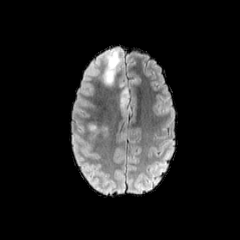
FLAIR magnetic resonance.
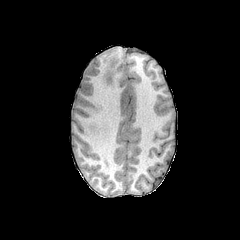
T1-weighted MRI of the same slice.
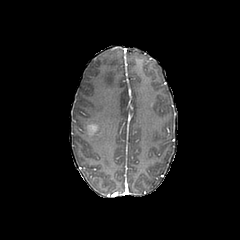
Post-contrast T1-weighted MRI of the same slice.
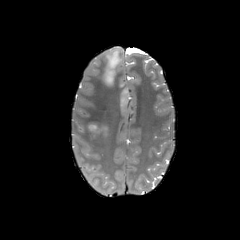
Same slice, T2-weighted MRI.
peritumoral edema = 99 49 136 120, 77 114 109 143
enhancing tumor = 87 123 98 135